FLAIR MR image.
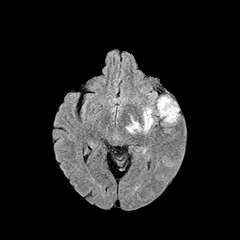
T1-weighted magnetic resonance.
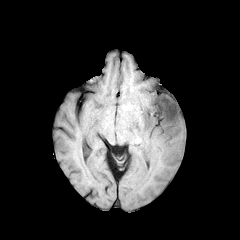
Post-contrast T1-weighted MRI.
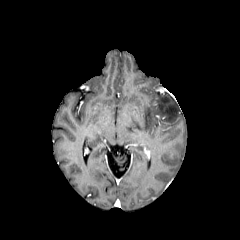
T2-weighted MR.
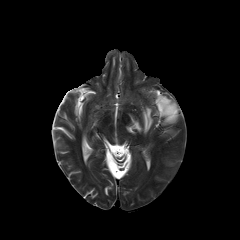
Brain.
* peritumoral edema: (157,96,178,123), (126,107,153,133)